240x240, Head, Axial plane
FLAIR MR.
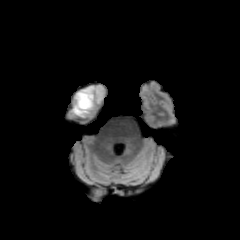
T1-weighted MRI.
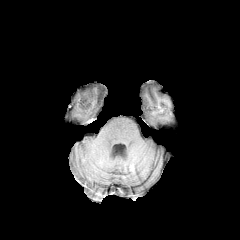
Post-contrast T1-weighted MR.
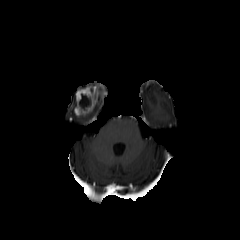
T2-weighted MR image.
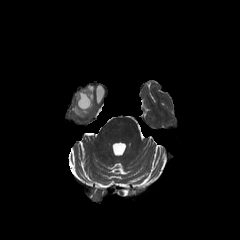
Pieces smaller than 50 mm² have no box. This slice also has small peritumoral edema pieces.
necrotic tumor core: 79, 94, 91, 109 | enhancing tumor: 74, 84, 104, 117